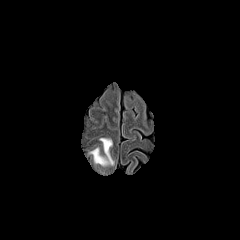
FLAIR magnetic resonance.
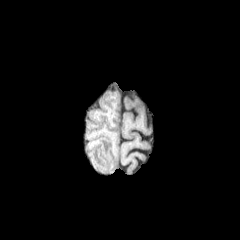
T1-weighted magnetic resonance.
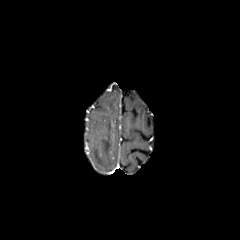
Same slice, post-contrast T1-weighted magnetic resonance.
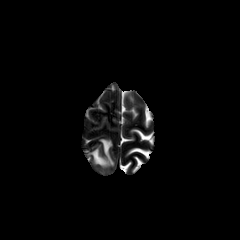
T2-weighted magnetic resonance.
Brain, 240x240 px, Axial slice
peritumoral edema: <bbox>90, 138, 114, 166</bbox>